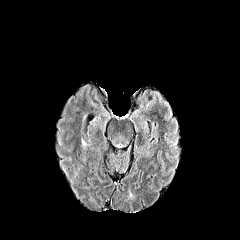
FLAIR MR.
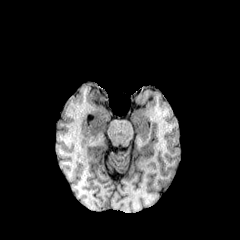
T1-weighted magnetic resonance.
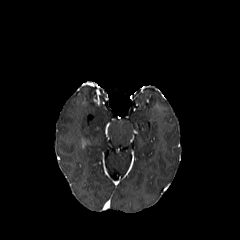
Post-contrast T1-weighted MRI.
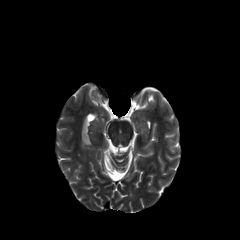
Same slice, T2-weighted MRI.
Image size 240x240 | Axial view
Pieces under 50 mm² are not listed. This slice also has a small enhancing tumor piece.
{"peritumoral_edema": ["x1=81, y1=139, x2=91, y2=151"]}